Axial plane, Image size 240x240
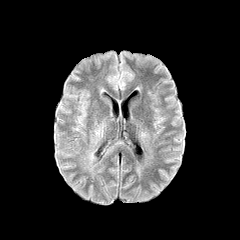
FLAIR magnetic resonance.
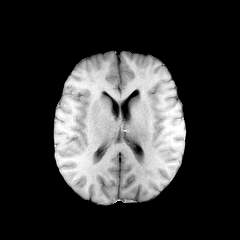
Same slice, T1-weighted magnetic resonance.
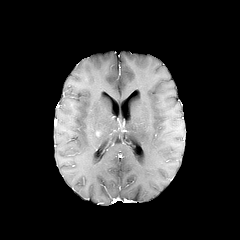
Post-contrast T1-weighted MR.
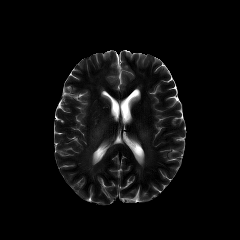
T2-weighted MR image.
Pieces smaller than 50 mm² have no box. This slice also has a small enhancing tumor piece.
The peritumoral edema is at 95:125:103:137.